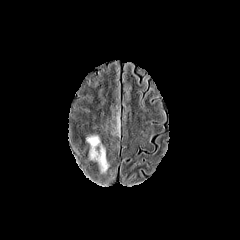
FLAIR MRI.
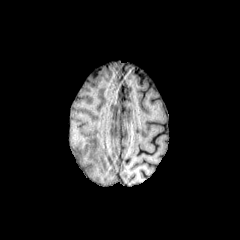
T1-weighted MR image.
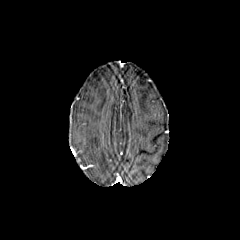
Post-contrast T1-weighted magnetic resonance.
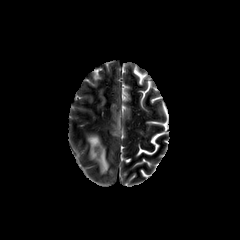
T2-weighted magnetic resonance.
240x240.
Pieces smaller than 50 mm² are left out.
Annotated regions:
* peritumoral edema: 87, 135, 109, 173